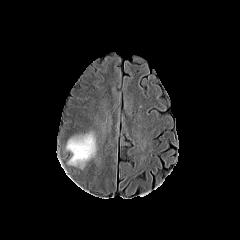
FLAIR MRI.
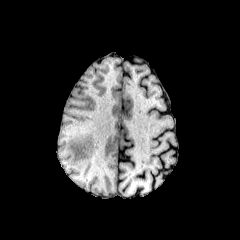
Same slice, T1-weighted MRI.
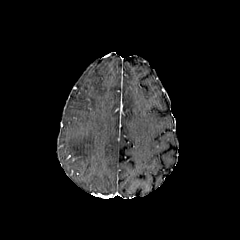
Same slice, post-contrast T1-weighted MRI.
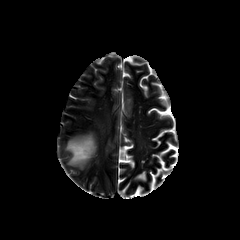
T2-weighted magnetic resonance.
Head
* peritumoral edema: {"x1": 66, "y1": 133, "x2": 95, "y2": 168}